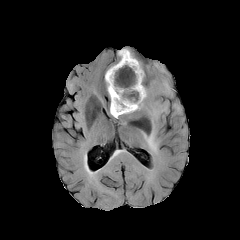
FLAIR MR image.
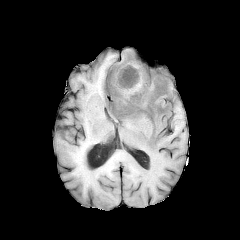
T1-weighted MRI.
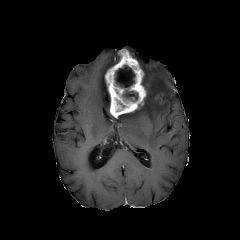
Post-contrast T1-weighted MR image.
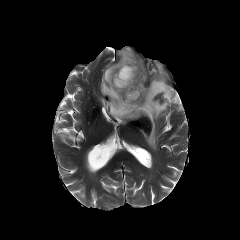
T2-weighted MRI.
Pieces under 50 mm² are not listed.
The 2 largest peritumoral edema regions are located at (118, 64, 173, 153), (173, 102, 181, 111). The enhancing tumor lies within (105, 49, 146, 118). 2 necrotic tumor core regions are located at (123, 90, 137, 99), (115, 65, 135, 87).